Slice 75/155
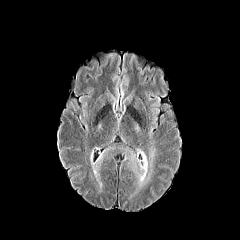
FLAIR MR image.
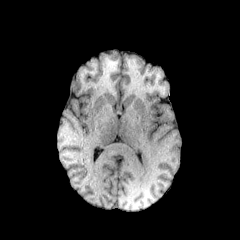
T1-weighted MR of the same slice.
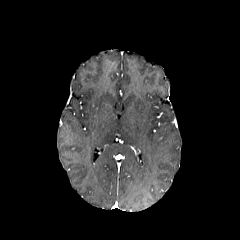
Post-contrast T1-weighted MR image.
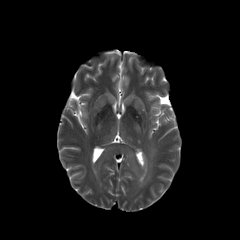
T2-weighted MR image.
2 peritumoral edema regions are bounded by bbox(120, 145, 156, 197); bbox(91, 146, 115, 187).